FLAIR MR image.
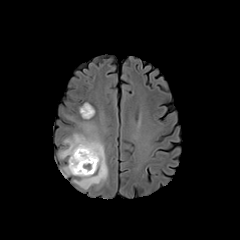
T1-weighted MRI.
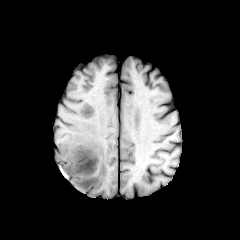
Post-contrast T1-weighted magnetic resonance.
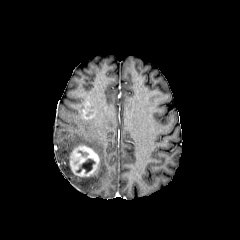
T2-weighted MRI.
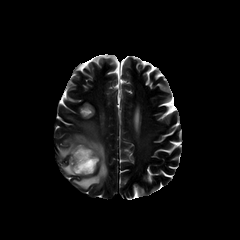
Axial view; Image size 240x240; Head
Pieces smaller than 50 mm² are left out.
Findings:
- peritumoral edema: 58, 122, 108, 189
- necrotic tumor core: 77, 159, 94, 172
- enhancing tumor: 70, 145, 99, 176; 82, 104, 94, 119